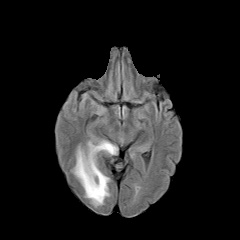
FLAIR magnetic resonance.
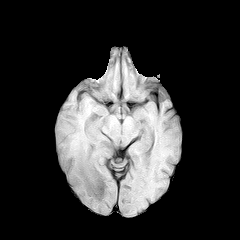
T1-weighted MRI of the same slice.
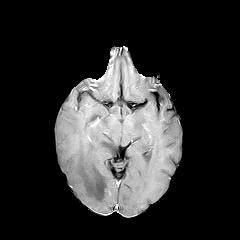
Same slice, post-contrast T1-weighted MR image.
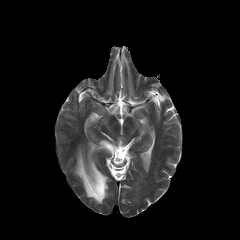
T2-weighted MR image.
Axial view; Image size 240x240; Head
- peritumoral edema: [x1=73, y1=140, x2=117, y2=205]